Slice 85/155 | Head
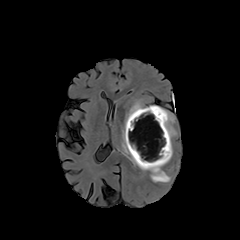
FLAIR magnetic resonance.
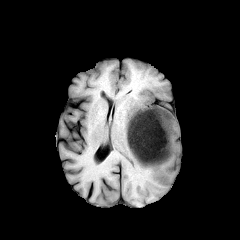
T1-weighted magnetic resonance.
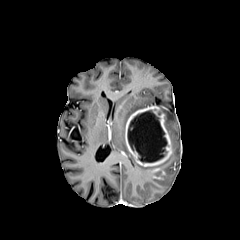
Post-contrast T1-weighted MR image.
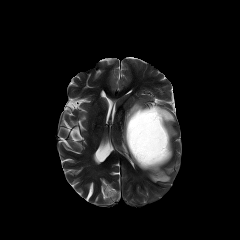
Same slice, T2-weighted MRI.
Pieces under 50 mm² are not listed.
peritumoral edema at bbox(161, 109, 176, 142); bbox(121, 101, 171, 182)
enhancing tumor at bbox(125, 105, 172, 172)
necrotic tumor core at bbox(128, 110, 166, 162)